Slice 59/155; Image size 240x240; Axial plane; Image width 240 mm, 1.00 mm slice spacing
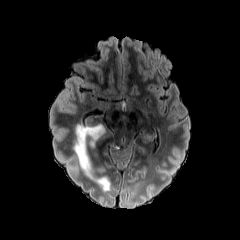
FLAIR MR image.
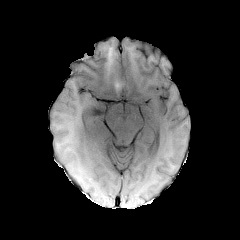
Same slice, T1-weighted magnetic resonance.
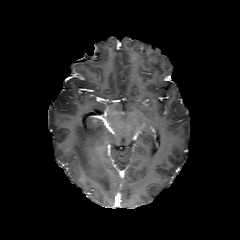
Same slice, post-contrast T1-weighted magnetic resonance.
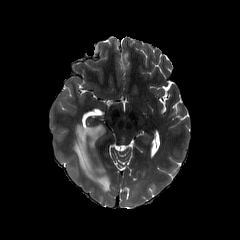
T2-weighted MRI.
The peritumoral edema is located at [x1=73, y1=124, x2=109, y2=191].